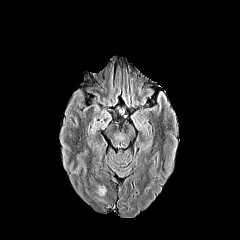
FLAIR MRI.
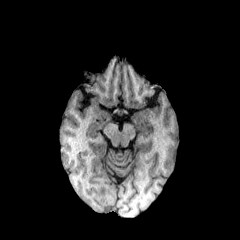
T1-weighted MRI.
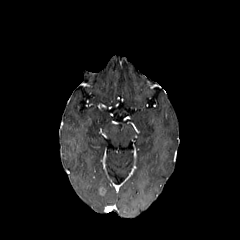
Post-contrast T1-weighted MR.
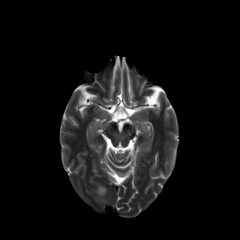
T2-weighted MR image.
Image size 240x240; Axial view
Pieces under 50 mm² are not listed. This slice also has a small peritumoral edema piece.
enhancing_tumor:
  - [x1=98, y1=187, x2=105, y2=195]